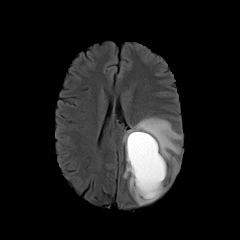
FLAIR MR image.
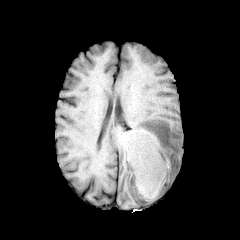
T1-weighted MR.
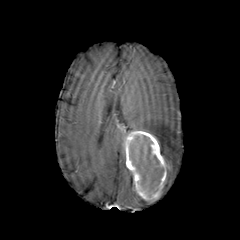
Post-contrast T1-weighted MR.
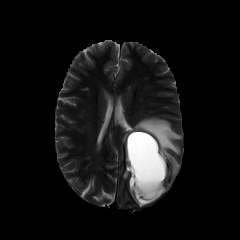
Same slice, T2-weighted MR.
Brain.
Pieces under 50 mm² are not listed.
The enhancing tumor is at rect(125, 131, 166, 201). The 2 largest peritumoral edema regions are bounded by rect(123, 167, 151, 205); rect(122, 117, 182, 177). The necrotic tumor core is bounded by rect(129, 135, 163, 196).